Brain, 240x240 px, Image covers 240 mm x 240 mm
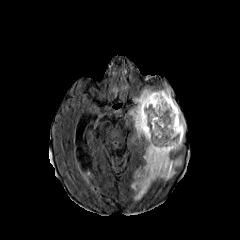
FLAIR MR.
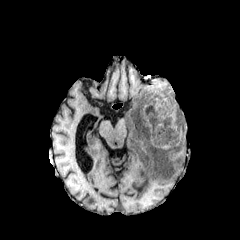
T1-weighted MR image.
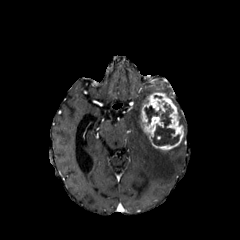
Same slice, post-contrast T1-weighted MR image.
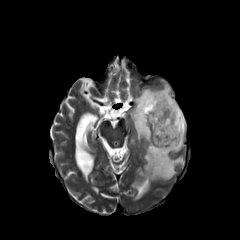
T2-weighted magnetic resonance of the same slice.
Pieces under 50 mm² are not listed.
Segmented structures:
* enhancing tumor: 139,92,183,150
* necrotic tumor core: 144,103,179,145
* peritumoral edema: 129,81,185,201